FLAIR MRI.
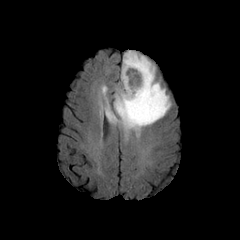
T1-weighted MRI.
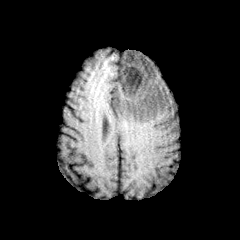
Post-contrast T1-weighted MRI.
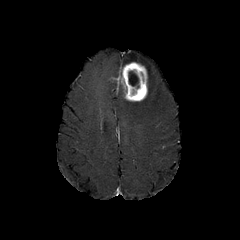
T2-weighted MR image.
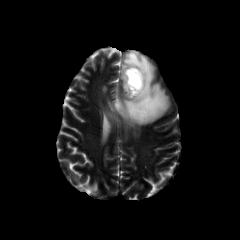
Axial slice
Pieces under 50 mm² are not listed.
<segmentation>
  <enhancing_tumor>118:62:147:101</enhancing_tumor>
  <necrotic_tumor_core>129:71:138:85</necrotic_tumor_core>
  <peritumoral_edema>105:51:170:129</peritumoral_edema>
</segmentation>